FLAIR MRI.
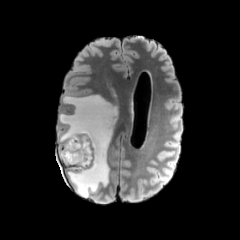
T1-weighted MRI.
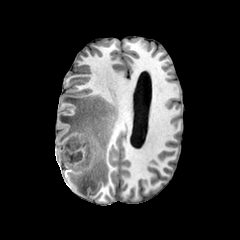
Post-contrast T1-weighted MR image.
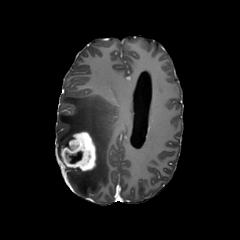
T2-weighted MR.
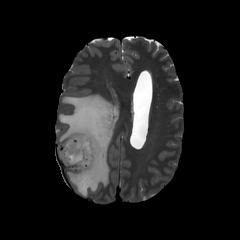
Axial view | 240x240 | Head
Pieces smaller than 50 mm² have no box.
{"peritumoral_edema": ["[x1=57, y1=94, x2=117, y2=197]"], "necrotic_tumor_core": ["[x1=69, y1=151, x2=82, y2=163]"], "enhancing_tumor": ["[x1=60, y1=131, x2=96, y2=171]"]}